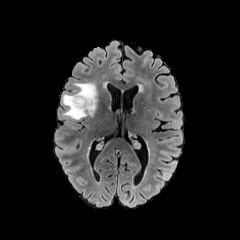
FLAIR MR.
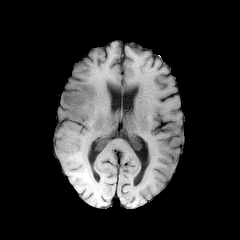
T1-weighted magnetic resonance.
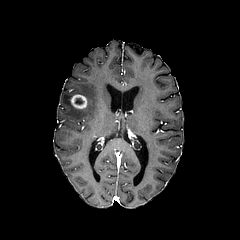
Post-contrast T1-weighted MR image of the same slice.
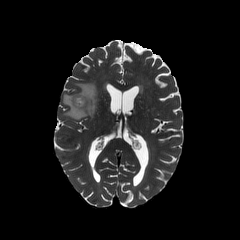
T2-weighted MR of the same slice.
Image size 240x240
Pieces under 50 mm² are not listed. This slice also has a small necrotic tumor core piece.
enhancing_tumor:
  - bbox=[70, 94, 87, 109]
peritumoral_edema:
  - bbox=[62, 82, 97, 119]